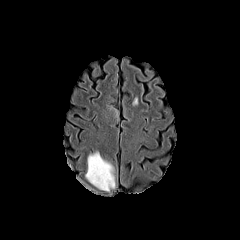
FLAIR magnetic resonance.
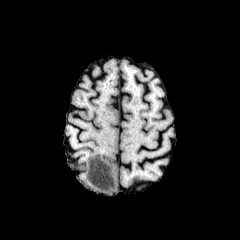
T1-weighted MR image.
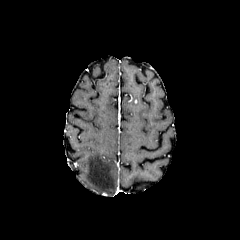
Same slice, post-contrast T1-weighted MRI.
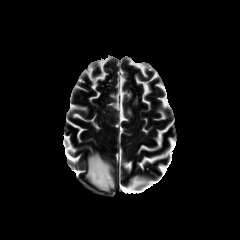
T2-weighted MR of the same slice.
Axial slice | Brain
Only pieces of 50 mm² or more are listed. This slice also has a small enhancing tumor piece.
{"peritumoral_edema": ["rect(105, 103, 119, 123)", "rect(85, 149, 115, 191)"]}